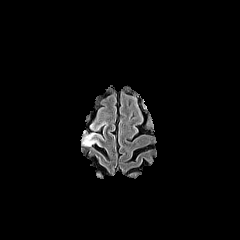
FLAIR magnetic resonance.
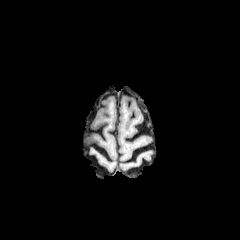
T1-weighted magnetic resonance.
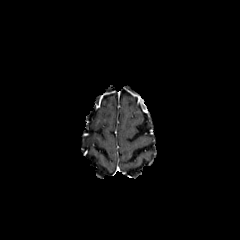
Post-contrast T1-weighted MR image.
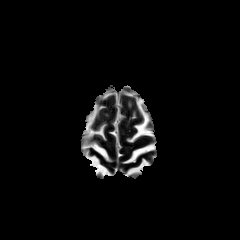
T2-weighted magnetic resonance.
240x240 px | Axial plane
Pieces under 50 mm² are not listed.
peritumoral edema — 83:134:96:146